Image width 240 mm, 1.00 mm slice spacing; Slice index 86; Head; Axial slice
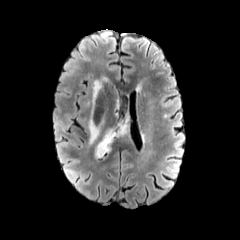
FLAIR magnetic resonance.
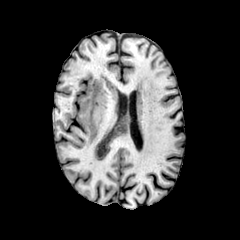
T1-weighted magnetic resonance.
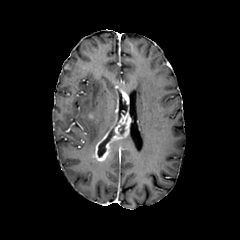
Same slice, post-contrast T1-weighted MRI.
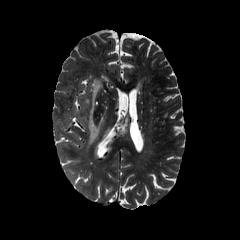
T2-weighted magnetic resonance.
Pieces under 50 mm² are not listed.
Segmented structures:
• peritumoral edema: (x1=88, y1=118, x2=103, y2=144), (x1=90, y1=79, x2=102, y2=115)
• enhancing tumor: (x1=93, y1=113, x2=130, y2=161)
• necrotic tumor core: (x1=97, y1=128, x2=114, y2=157)